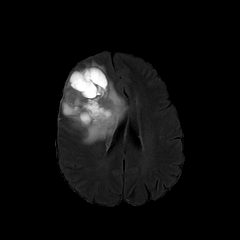
FLAIR magnetic resonance.
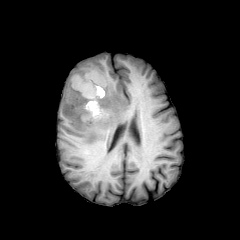
T1-weighted MRI.
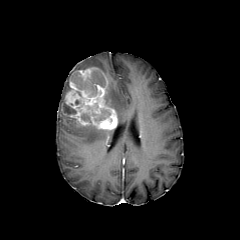
Post-contrast T1-weighted MRI.
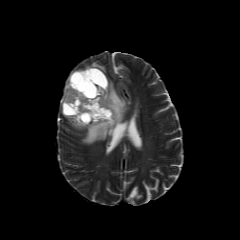
T2-weighted magnetic resonance.
Brain.
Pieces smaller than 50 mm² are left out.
Findings:
- enhancing tumor: (x1=64, y1=67, x2=117, y2=129)
- peritumoral edema: (x1=105, y1=79, x2=127, y2=123), (x1=65, y1=116, x2=114, y2=144), (x1=61, y1=77, x2=70, y2=106), (x1=79, y1=61, x2=105, y2=74)
- necrotic tumor core: (x1=81, y1=114, x2=89, y2=120), (x1=62, y1=103, x2=76, y2=114), (x1=71, y1=70, x2=105, y2=95)